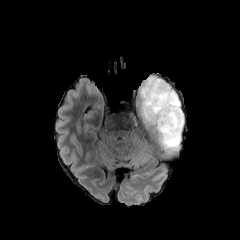
FLAIR MRI.
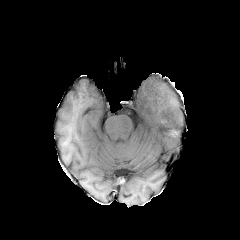
T1-weighted magnetic resonance.
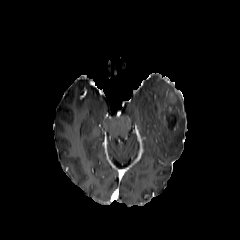
Post-contrast T1-weighted MRI.
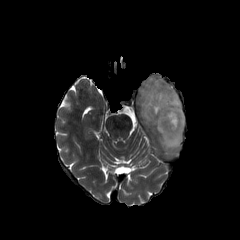
T2-weighted MR.
Axial plane, Head
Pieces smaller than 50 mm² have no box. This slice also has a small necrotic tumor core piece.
The peritumoral edema is bounded by (137, 76, 184, 152). The enhancing tumor is bounded by (156, 111, 177, 129).